Axial view, Image width 240 mm
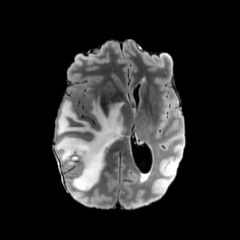
FLAIR MR.
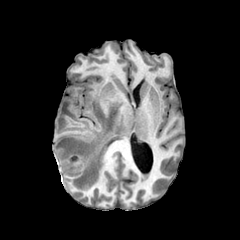
T1-weighted MRI.
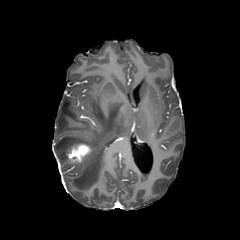
Post-contrast T1-weighted MRI of the same slice.
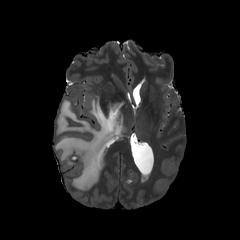
T2-weighted magnetic resonance.
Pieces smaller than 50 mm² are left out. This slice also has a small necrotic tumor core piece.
peritumoral edema — box(54, 97, 125, 190)
enhancing tumor — box(66, 143, 91, 162)